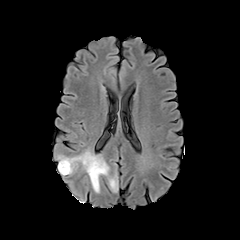
FLAIR MRI.
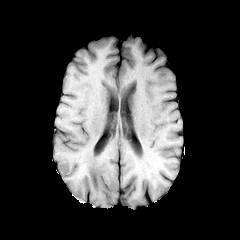
Same slice, T1-weighted MR.
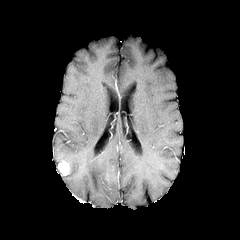
Post-contrast T1-weighted MR image of the same slice.
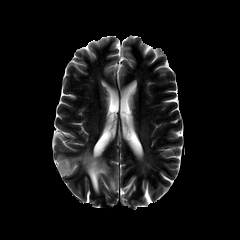
T2-weighted MR image.
The peritumoral edema is located at 57,150,117,193. The enhancing tumor is at 58,160,69,175.